Axial slice. Slice 44/155.
FLAIR MR image.
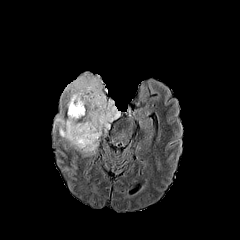
T1-weighted magnetic resonance.
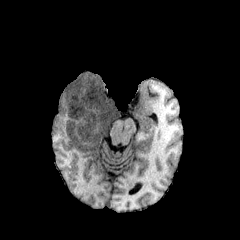
Post-contrast T1-weighted MR image.
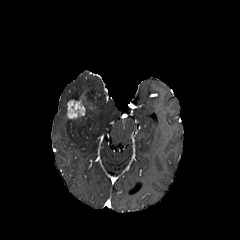
T2-weighted MR.
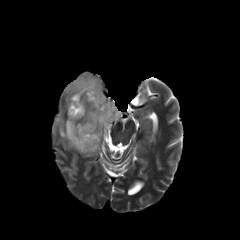
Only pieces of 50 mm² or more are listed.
<segmentation>
  <peritumoral_edema>(55,73,120,153)</peritumoral_edema>
  <enhancing_tumor>(67,94,86,119)</enhancing_tumor>
</segmentation>